FLAIR magnetic resonance.
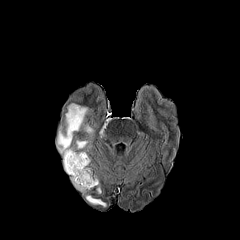
T1-weighted MRI.
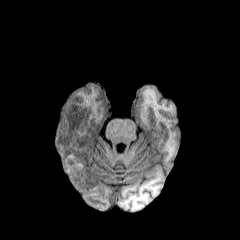
Post-contrast T1-weighted MR.
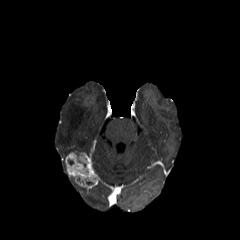
T2-weighted MRI.
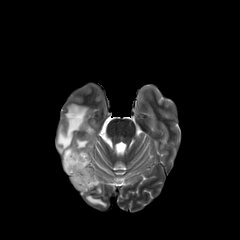
Axial plane, 240x240
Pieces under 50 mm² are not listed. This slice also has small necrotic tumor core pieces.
enhancing_tumor:
  - [x1=65, y1=152, x2=99, y2=189]
peritumoral_edema:
  - [x1=86, y1=195, x2=105, y2=206]
  - [x1=84, y1=124, x2=93, y2=134]
  - [x1=76, y1=140, x2=88, y2=149]
  - [x1=56, y1=103, x2=87, y2=170]
  - [x1=71, y1=177, x2=85, y2=191]